FLAIR MR image.
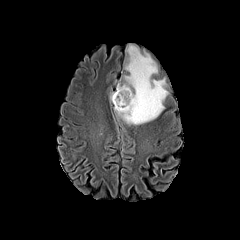
T1-weighted magnetic resonance.
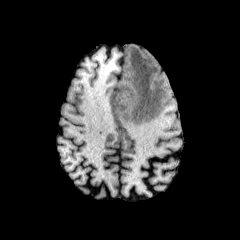
Post-contrast T1-weighted MR.
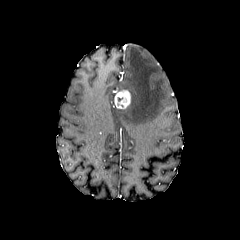
T2-weighted MRI.
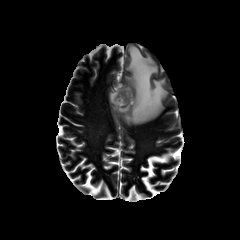
Axial view | Brain | 240x240
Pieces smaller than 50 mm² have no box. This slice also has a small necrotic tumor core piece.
peritumoral_edema:
  - rect(114, 45, 168, 124)
enhancing_tumor:
  - rect(114, 89, 131, 109)